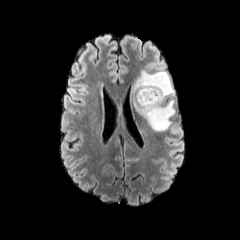
FLAIR MR.
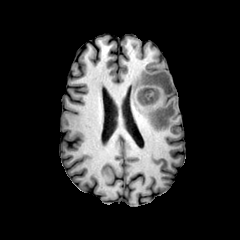
T1-weighted MR of the same slice.
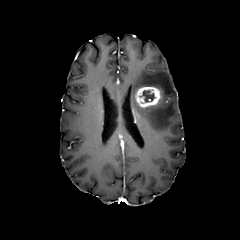
Post-contrast T1-weighted magnetic resonance of the same slice.
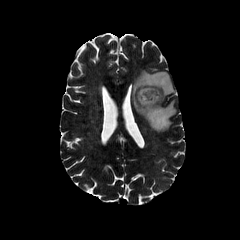
T2-weighted MR.
Image size 240x240 | Brain
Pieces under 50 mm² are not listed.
The necrotic tumor core appears at bbox(138, 88, 157, 103). The largest enhancing tumor region is bounded by bbox(135, 86, 161, 107). The peritumoral edema appears at bbox(132, 70, 175, 131).